Head, 240x240, Axial view, Image width 240 mm, 1.00 mm slice spacing
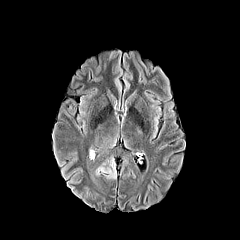
FLAIR MR.
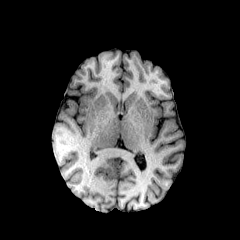
T1-weighted magnetic resonance of the same slice.
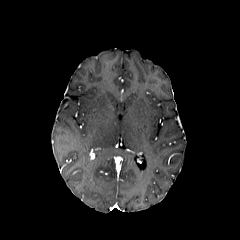
Same slice, post-contrast T1-weighted MR image.
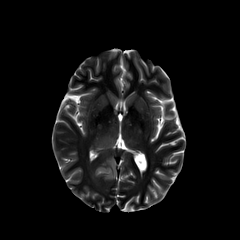
T2-weighted MR.
peritumoral edema = left=96, top=161, right=116, bottom=178